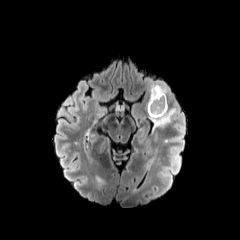
FLAIR magnetic resonance.
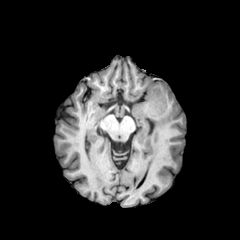
T1-weighted MR.
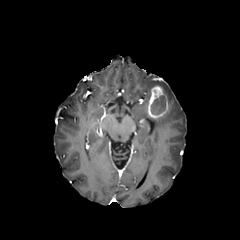
Post-contrast T1-weighted magnetic resonance.
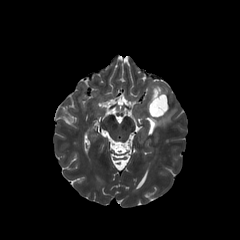
T2-weighted MRI of the same slice.
Head; Image size 240x240; Axial plane
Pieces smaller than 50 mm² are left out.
peritumoral edema: [x1=149, y1=109, x2=175, y2=125], [x1=147, y1=82, x2=167, y2=100] | necrotic tumor core: [x1=151, y1=96, x2=165, y2=114] | enhancing tumor: [x1=147, y1=86, x2=168, y2=118]